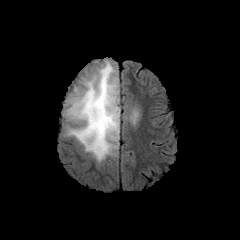
FLAIR MR.
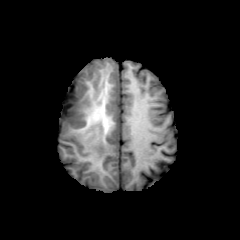
T1-weighted MR image.
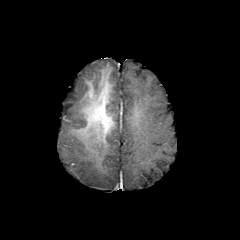
Post-contrast T1-weighted MR.
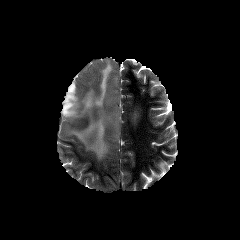
Same slice, T2-weighted MRI.
Brain
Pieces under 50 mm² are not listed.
peritumoral edema: [x1=62, y1=59, x2=120, y2=162]